Axial slice; Brain; Image width 240 mm, 1.00 mm slice spacing; 240x240
FLAIR MR.
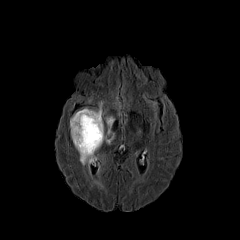
T1-weighted magnetic resonance.
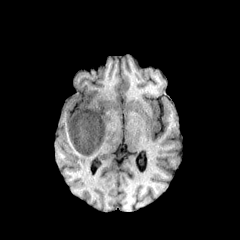
Post-contrast T1-weighted magnetic resonance.
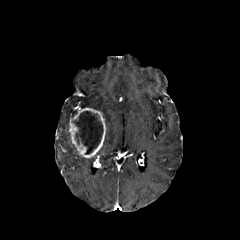
T2-weighted MRI.
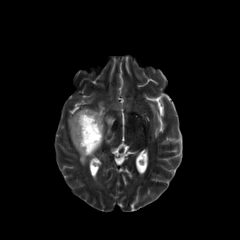
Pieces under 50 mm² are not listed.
The enhancing tumor lies within <box>69,107,106,158</box>. The necrotic tumor core is located at <box>73,111,102,154</box>. The 2 largest peritumoral edema regions are located at <box>80,156,95,165</box>, <box>105,116,114,144</box>.